Slice 86 of 155. 240x240 px. Head.
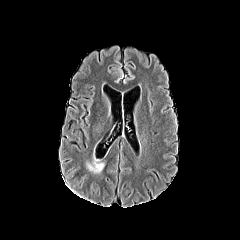
FLAIR MR.
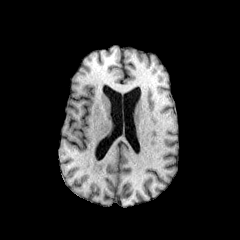
Same slice, T1-weighted MR.
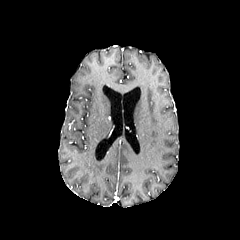
Post-contrast T1-weighted MR.
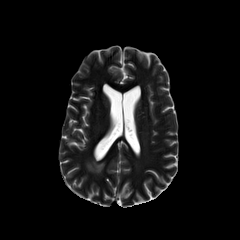
T2-weighted MR image of the same slice.
peritumoral edema — 87 158 104 172